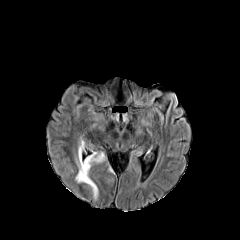
FLAIR MR image.
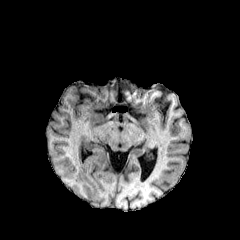
T1-weighted magnetic resonance.
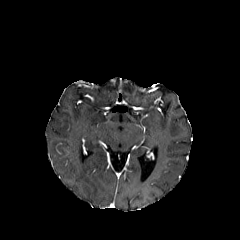
Post-contrast T1-weighted MR image.
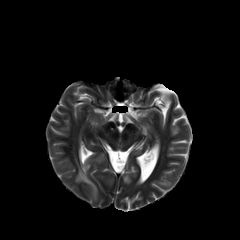
T2-weighted MR of the same slice.
Axial slice
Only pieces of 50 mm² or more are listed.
{
  "peritumoral_edema": [
    "76:147:104:198"
  ]
}